FLAIR MR image.
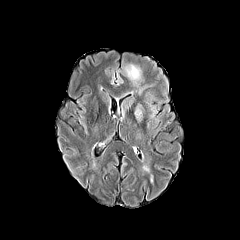
T1-weighted MR.
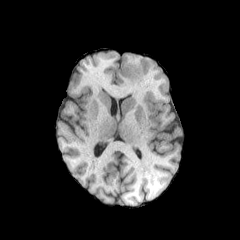
Post-contrast T1-weighted MRI.
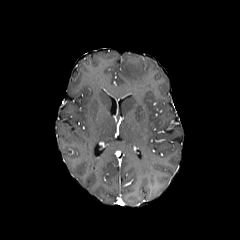
T2-weighted MR.
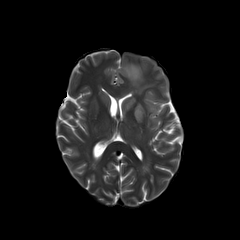
Axial view; Brain
peritumoral edema at (x1=134, y1=103, x2=143, y2=124), (x1=123, y1=64, x2=141, y2=83), (x1=121, y1=96, x2=134, y2=116)